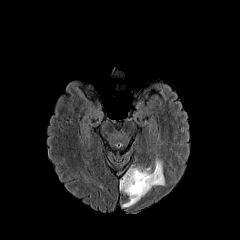
FLAIR MRI.
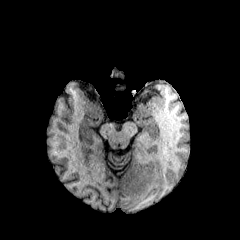
T1-weighted MR image of the same slice.
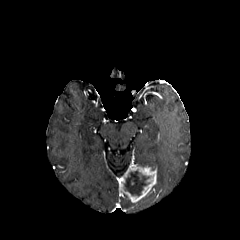
Post-contrast T1-weighted MR of the same slice.
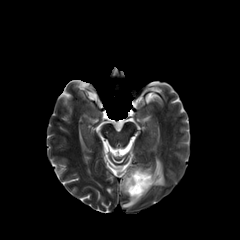
Same slice, T2-weighted MR.
Axial view
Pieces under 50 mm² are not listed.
Findings:
* enhancing tumor: bbox(119, 164, 157, 202)
* peritumoral edema: bbox(153, 156, 165, 186); bbox(122, 200, 135, 207)
* necrotic tumor core: bbox(124, 171, 149, 195)